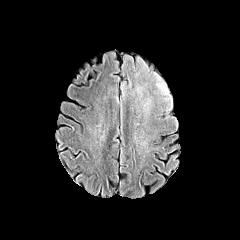
FLAIR MR image.
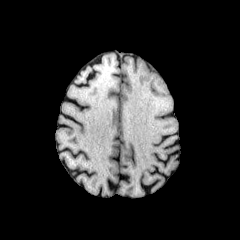
T1-weighted MRI.
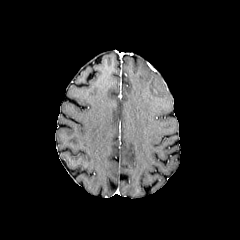
Post-contrast T1-weighted MRI of the same slice.
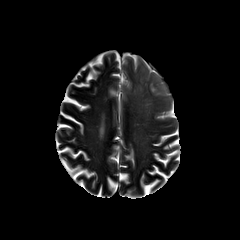
T2-weighted MR image of the same slice.
peritumoral edema at (155,74,165,91)